FLAIR magnetic resonance.
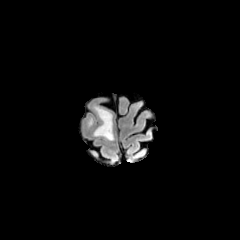
T1-weighted magnetic resonance.
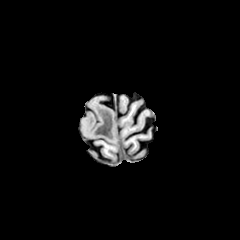
Post-contrast T1-weighted magnetic resonance.
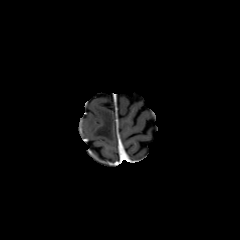
T2-weighted MRI.
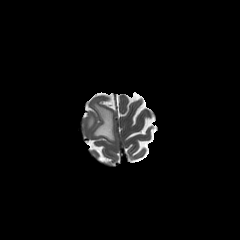
240x240.
2 peritumoral edema regions are bounded by bbox=[86, 117, 93, 128]; bbox=[92, 104, 114, 140].